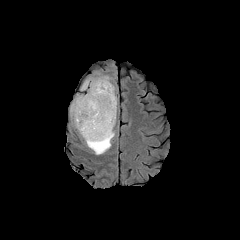
FLAIR MR image.
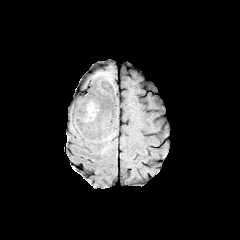
T1-weighted MR.
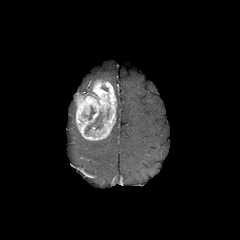
Post-contrast T1-weighted MR image.
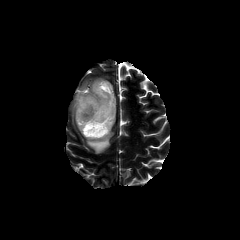
T2-weighted magnetic resonance.
240x240 px
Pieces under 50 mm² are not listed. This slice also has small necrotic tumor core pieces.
<segmentation>
  <enhancing_tumor>x1=75, y1=80, x2=116, y2=140</enhancing_tumor>
  <peritumoral_edema>x1=70, y1=99, x2=76, y2=127; x1=85, y1=86, x2=117, y2=154; x1=88, y1=76, x2=109, y2=91</peritumoral_edema>
</segmentation>